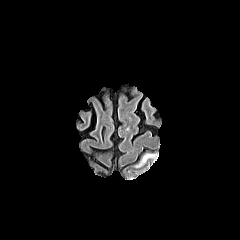
FLAIR magnetic resonance.
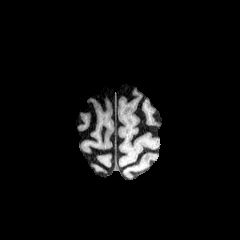
Same slice, T1-weighted MR.
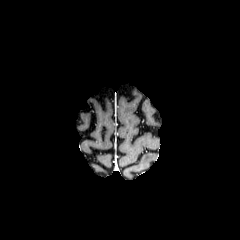
Post-contrast T1-weighted MRI of the same slice.
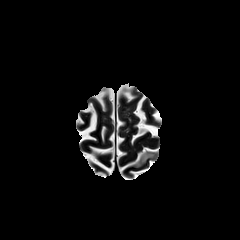
Same slice, T2-weighted magnetic resonance.
Axial view; Head
peritumoral edema at 137 154 154 166